FLAIR MRI.
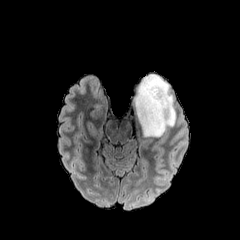
T1-weighted MR image.
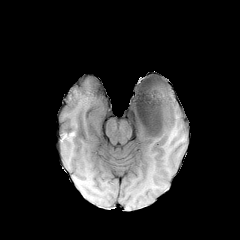
Post-contrast T1-weighted MR.
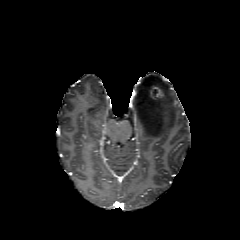
T2-weighted MRI.
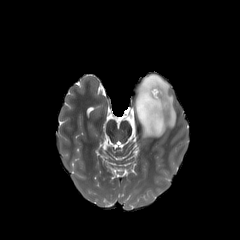
Axial slice; Head
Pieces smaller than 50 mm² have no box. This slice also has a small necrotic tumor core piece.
Segmented structures:
• enhancing tumor: <box>149,86,164,99</box>
• peritumoral edema: <box>132,74,176,137</box>